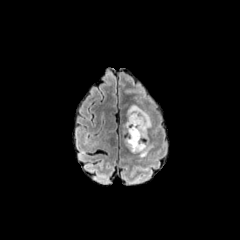
FLAIR MR.
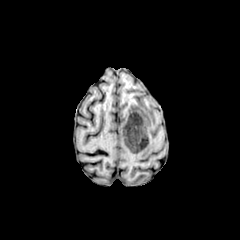
T1-weighted magnetic resonance.
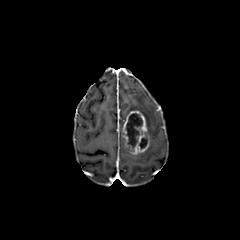
Same slice, post-contrast T1-weighted MR image.
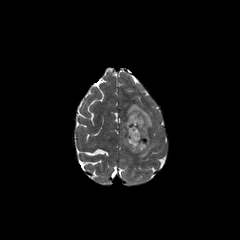
T2-weighted MRI of the same slice.
peritumoral edema at [x1=126, y1=104, x2=152, y2=129], [x1=137, y1=143, x2=153, y2=157]
necrotic tumor core at [x1=139, y1=138, x2=146, y2=148], [x1=126, y1=113, x2=142, y2=147]
enhancing tumor at [x1=122, y1=110, x2=149, y2=154]